Brain. 240x240 px.
FLAIR MRI.
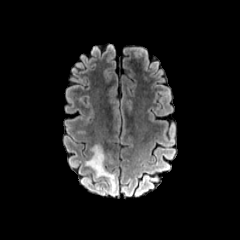
T1-weighted magnetic resonance.
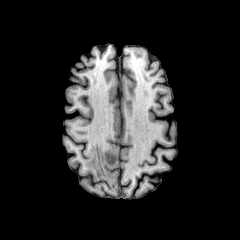
Post-contrast T1-weighted MR.
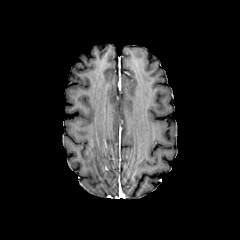
T2-weighted magnetic resonance.
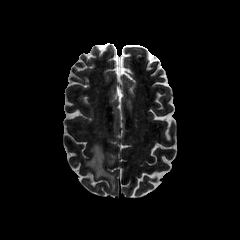
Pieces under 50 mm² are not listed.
<segmentation>
  <peritumoral_edema>box=[85, 144, 116, 190]</peritumoral_edema>
</segmentation>